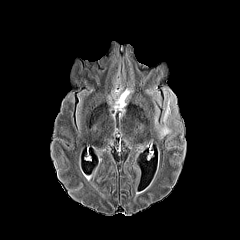
FLAIR magnetic resonance.
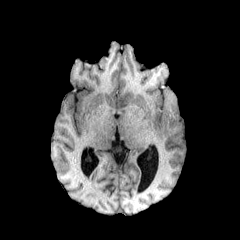
T1-weighted MR.
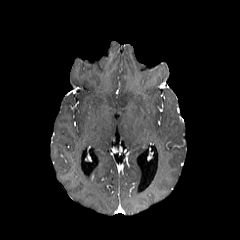
Post-contrast T1-weighted MRI.
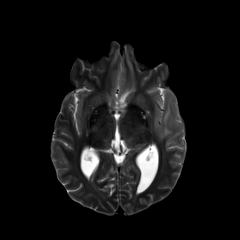
T2-weighted MR.
<segmentation>
  <peritumoral_edema>box(114, 89, 132, 108); box(173, 101, 177, 117); box(154, 101, 171, 137)</peritumoral_edema>
</segmentation>